FLAIR MR.
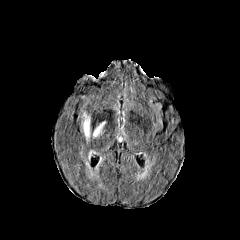
T1-weighted magnetic resonance.
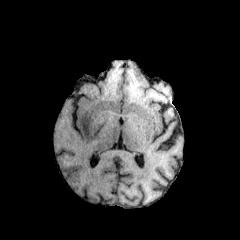
Post-contrast T1-weighted magnetic resonance.
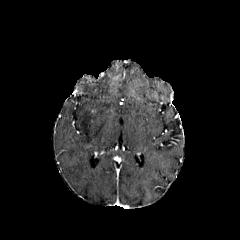
T2-weighted MRI.
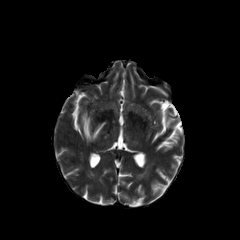
Brain
peritumoral edema: <bbox>93, 121, 105, 137</bbox>, <bbox>82, 112, 90, 140</bbox>